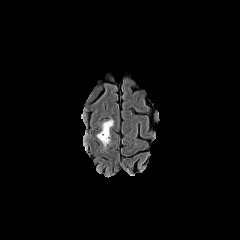
FLAIR MR image.
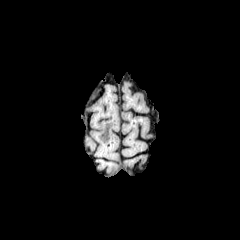
T1-weighted magnetic resonance.
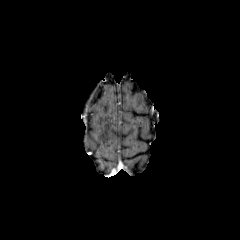
Post-contrast T1-weighted magnetic resonance of the same slice.
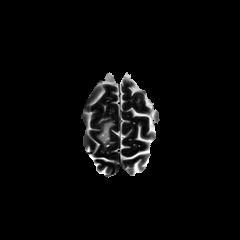
T2-weighted MRI.
Head; Axial view
<segmentation>
  <peritumoral_edema>(x1=97, y1=120, x2=113, y2=147)</peritumoral_edema>
</segmentation>